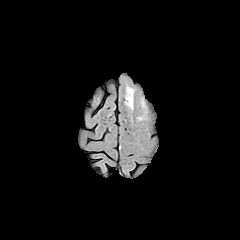
FLAIR MR.
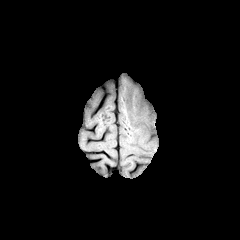
T1-weighted MRI of the same slice.
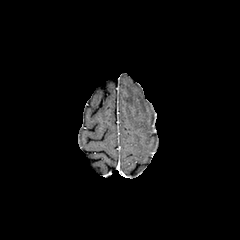
Same slice, post-contrast T1-weighted magnetic resonance.
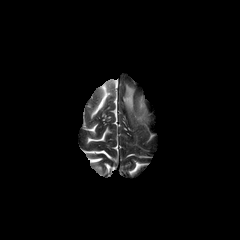
T2-weighted MRI of the same slice.
Axial slice
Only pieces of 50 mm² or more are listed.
Annotated regions:
- peritumoral edema: (x1=125, y1=86, x2=133, y2=109)